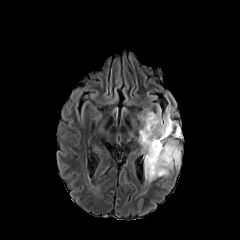
FLAIR MR image.
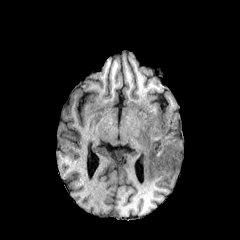
T1-weighted magnetic resonance.
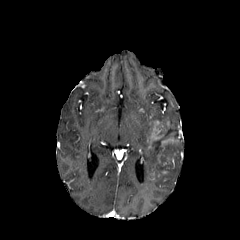
Post-contrast T1-weighted MR.
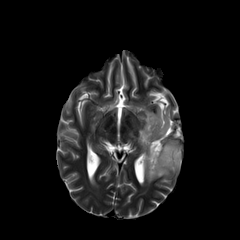
T2-weighted magnetic resonance of the same slice.
Brain
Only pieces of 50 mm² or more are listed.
The 2 largest necrotic tumor core regions appear at rect(146, 120, 155, 140); rect(148, 121, 178, 178). The 2 largest peritumoral edema regions appear at rect(160, 143, 180, 176); rect(138, 105, 177, 182). The 2 largest enhancing tumor regions appear at rect(162, 137, 178, 150); rect(147, 120, 163, 148).